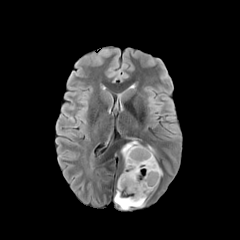
FLAIR MRI.
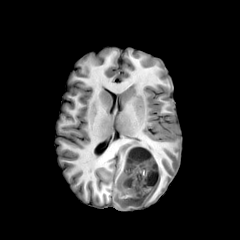
Same slice, T1-weighted magnetic resonance.
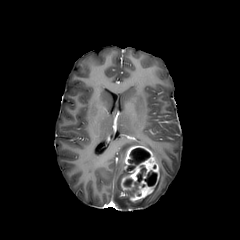
Same slice, post-contrast T1-weighted magnetic resonance.
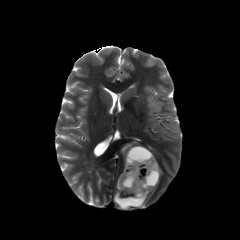
T2-weighted MR image of the same slice.
Head
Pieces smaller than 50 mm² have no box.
The 2 largest peritumoral edema regions are located at (left=114, top=171, right=146, bottom=209), (left=121, top=141, right=138, bottom=159). The 4 largest necrotic tumor core regions are bounded by (left=127, top=166, right=146, bottom=193), (left=144, top=171, right=157, bottom=186), (left=128, top=148, right=150, bottom=170), (left=124, top=179, right=132, bottom=186). The enhancing tumor appears at (left=121, top=145, right=159, bottom=202).